FLAIR MR.
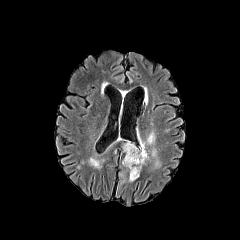
T1-weighted magnetic resonance.
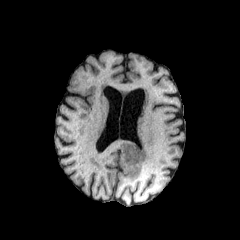
Post-contrast T1-weighted magnetic resonance.
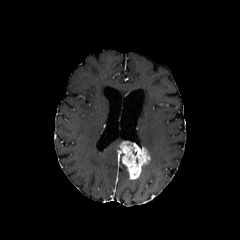
T2-weighted MRI.
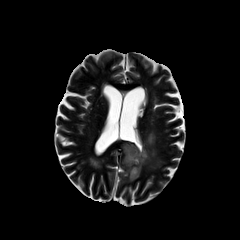
Brain
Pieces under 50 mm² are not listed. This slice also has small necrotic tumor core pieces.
enhancing tumor: <box>120,141,150,179</box>
peritumoral edema: <box>138,131,155,147</box>, <box>148,147,160,167</box>